Image width 240 mm. Brain. Slice index 106.
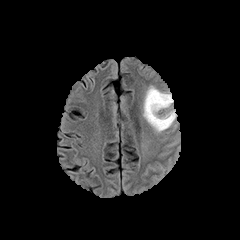
FLAIR MR image.
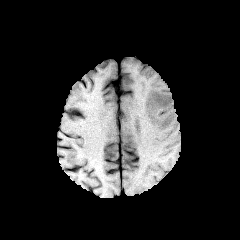
Same slice, T1-weighted MRI.
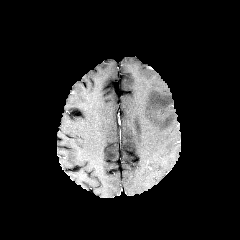
Post-contrast T1-weighted MR.
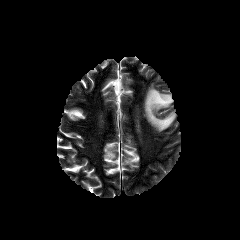
T2-weighted MR image.
The peritumoral edema is located at 143, 86, 176, 132.